FLAIR MR image.
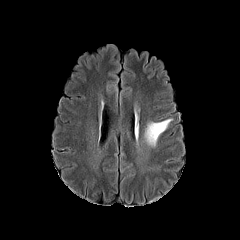
T1-weighted MRI.
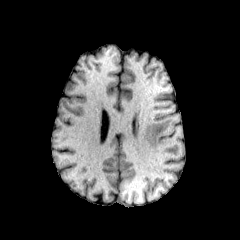
Post-contrast T1-weighted MR.
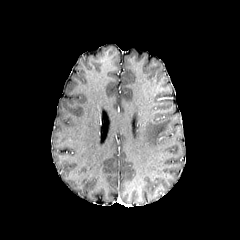
T2-weighted MRI.
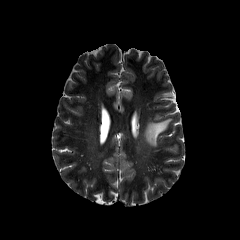
Image size 240x240. Head.
peritumoral edema = <bbox>144, 119, 172, 147</bbox>